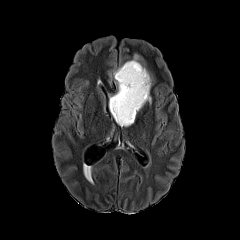
FLAIR magnetic resonance.
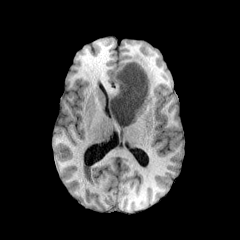
T1-weighted MR.
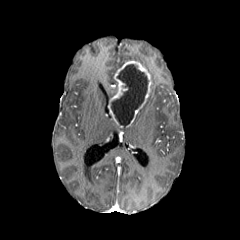
Post-contrast T1-weighted magnetic resonance.
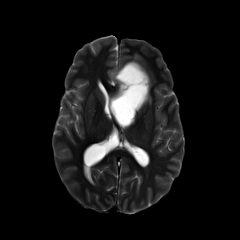
Same slice, T2-weighted MR.
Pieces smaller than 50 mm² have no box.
The necrotic tumor core is at 111 64 148 126. The largest peritumoral edema region is at 132 54 141 61. The largest enhancing tumor region is bounded by 109 60 151 126.